Slice 75/155, Brain
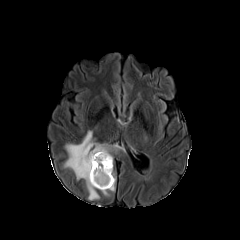
FLAIR magnetic resonance.
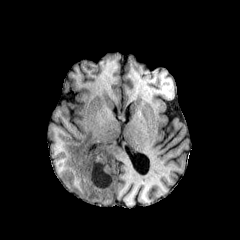
T1-weighted MR image.
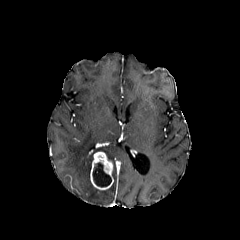
Same slice, post-contrast T1-weighted MR.
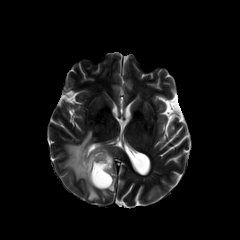
T2-weighted MR image of the same slice.
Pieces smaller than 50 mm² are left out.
The enhancing tumor is at (x1=90, y1=151, x2=113, y2=190). The necrotic tumor core is bounded by (x1=92, y1=162, x2=111, y2=186). The 2 largest peritumoral edema regions are bounded by (x1=108, y1=173, x2=115, y2=191), (x1=64, y1=131, x2=121, y2=200).